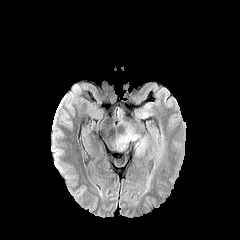
FLAIR MR image.
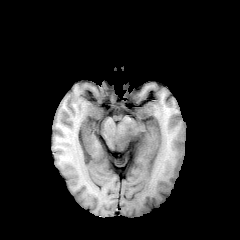
Same slice, T1-weighted magnetic resonance.
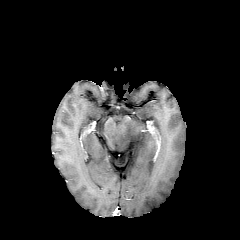
Same slice, post-contrast T1-weighted MR image.
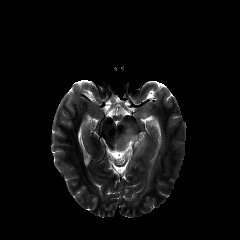
T2-weighted MRI.
Brain.
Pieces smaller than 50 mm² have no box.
peritumoral edema: x1=115 y1=122 x2=147 y2=155